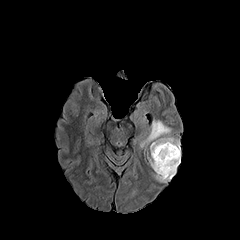
FLAIR magnetic resonance.
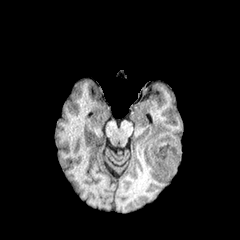
T1-weighted MR of the same slice.
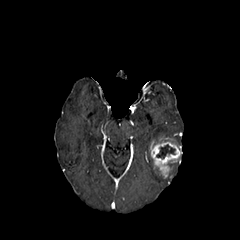
Post-contrast T1-weighted magnetic resonance of the same slice.
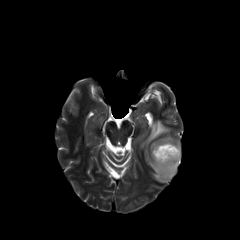
T2-weighted MR of the same slice.
Brain
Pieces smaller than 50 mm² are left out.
The necrotic tumor core is bounded by [x1=156, y1=144, x2=175, y2=158]. The largest enhancing tumor region is at [x1=150, y1=137, x2=181, y2=178]. The 2 largest peritumoral edema regions appear at [x1=154, y1=162, x2=179, y2=182], [x1=140, y1=120, x2=180, y2=147].